Slice index 41 | Image width 240 mm | Axial slice | Head
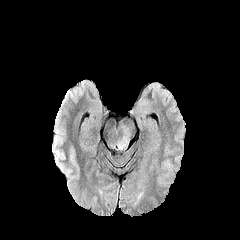
FLAIR MRI.
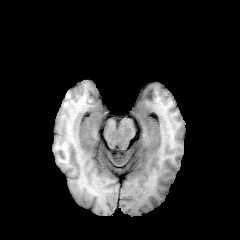
Same slice, T1-weighted magnetic resonance.
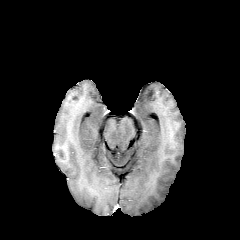
Post-contrast T1-weighted MR image of the same slice.
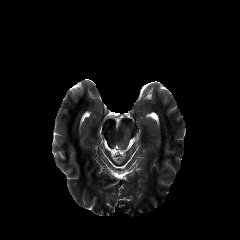
T2-weighted MR.
The peritumoral edema is bounded by (left=118, top=130, right=130, bottom=149).